FLAIR MR.
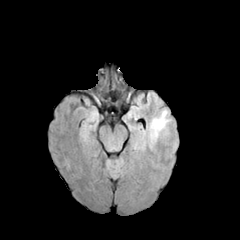
T1-weighted MRI.
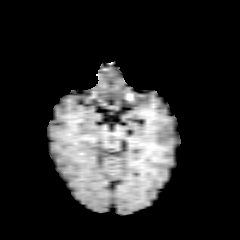
Post-contrast T1-weighted magnetic resonance.
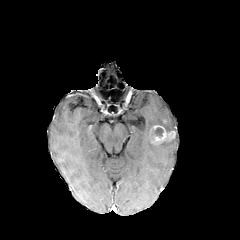
T2-weighted MR.
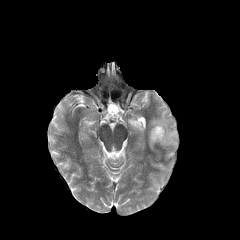
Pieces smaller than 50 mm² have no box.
enhancing tumor — (150,125,174,144)
peritumoral edema — (148,110,170,147)
necrotic tumor core — (155,127,163,137)